FLAIR magnetic resonance.
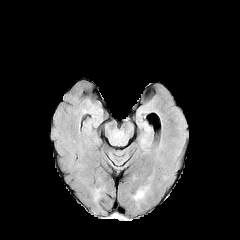
T1-weighted MR.
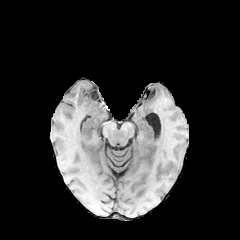
Post-contrast T1-weighted MR image.
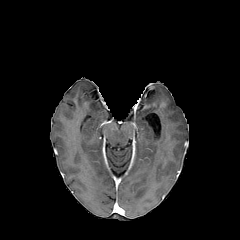
T2-weighted MR image.
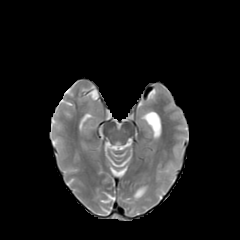
Axial plane; 240x240
peritumoral edema: (x1=133, y1=186, x2=148, y2=200)